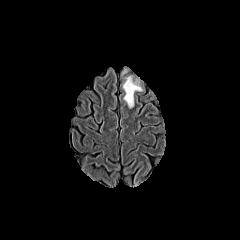
FLAIR MR image.
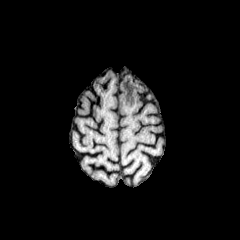
Same slice, T1-weighted magnetic resonance.
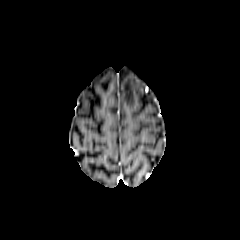
Post-contrast T1-weighted magnetic resonance.
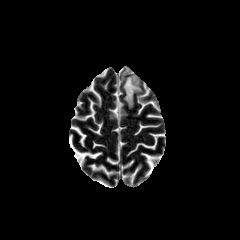
T2-weighted MRI.
Brain
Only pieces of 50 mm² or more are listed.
<segmentation>
  <peritumoral_edema><box>123,76,141,107</box></peritumoral_edema>
</segmentation>